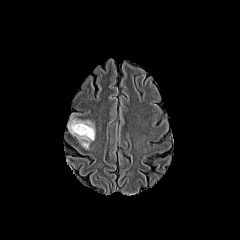
FLAIR MR.
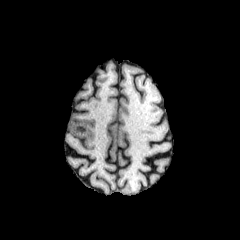
T1-weighted MRI.
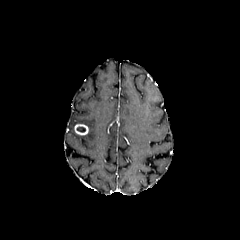
Post-contrast T1-weighted MR.
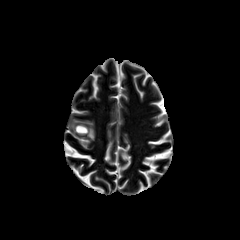
T2-weighted MR of the same slice.
Brain
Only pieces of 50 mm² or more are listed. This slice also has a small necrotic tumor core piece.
The enhancing tumor is bounded by x1=74 y1=124 x2=88 y2=135. The peritumoral edema is bounded by x1=68 y1=114 x2=95 y2=148.